FLAIR MR image.
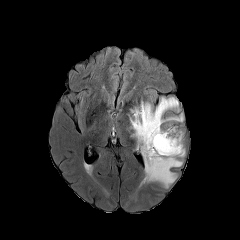
T1-weighted MRI.
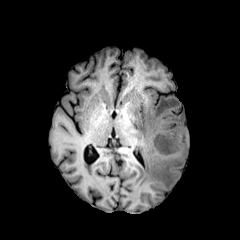
Post-contrast T1-weighted MR.
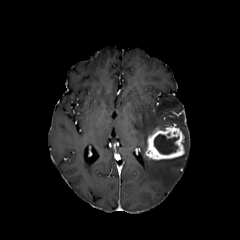
T2-weighted MR image.
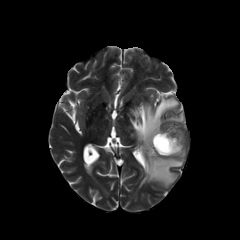
240x240. Brain.
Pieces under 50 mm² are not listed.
{
  "necrotic_tumor_core": [
    "154, 134, 178, 154"
  ],
  "peritumoral_edema": [
    "130, 97, 184, 187"
  ],
  "enhancing_tumor": [
    "145, 125, 184, 160"
  ]
}